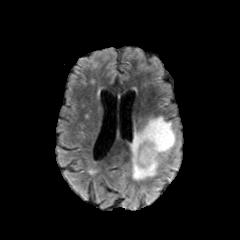
FLAIR MRI.
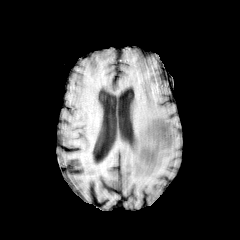
T1-weighted MR image.
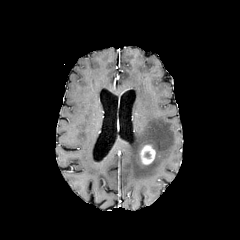
Post-contrast T1-weighted magnetic resonance.
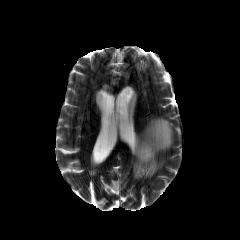
T2-weighted MRI.
240x240 | Axial view
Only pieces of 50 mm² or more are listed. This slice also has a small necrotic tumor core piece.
Findings:
• peritumoral edema: region(131, 117, 175, 179)
• enhancing tumor: region(139, 144, 155, 164)